Slice 72 of 155 | Image width 240 mm, 1.00 mm slice spacing | Head | Axial plane | Image size 240x240
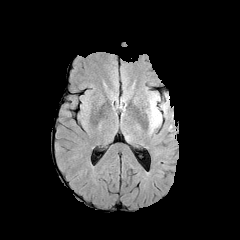
FLAIR MR.
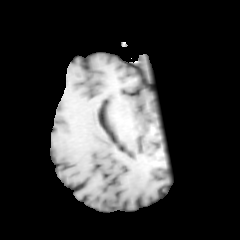
T1-weighted MRI of the same slice.
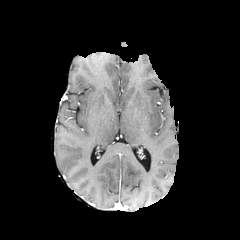
Post-contrast T1-weighted magnetic resonance.
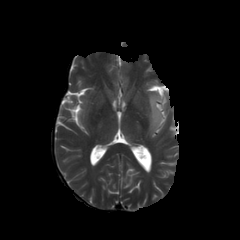
T2-weighted MR image.
peritumoral edema at <box>147,92,161,132</box>